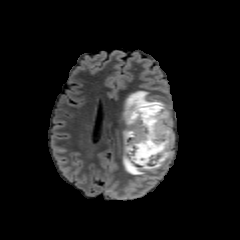
FLAIR MR image.
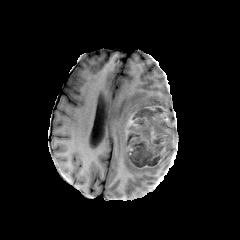
T1-weighted MRI.
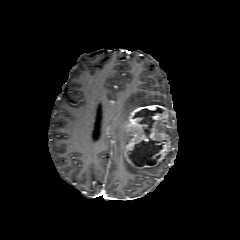
Post-contrast T1-weighted magnetic resonance of the same slice.
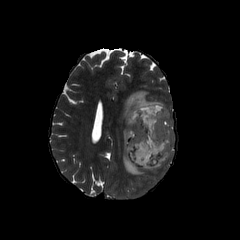
T2-weighted MRI.
240x240, Head
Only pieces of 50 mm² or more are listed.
Findings:
* necrotic tumor core: x1=128, y1=138, x2=166, y2=166; x1=133, y1=107, x2=164, y2=137
* enhancing tumor: x1=123, y1=104, x2=173, y2=169
* peritumoral edema: x1=123, y1=90, x2=166, y2=125; x1=123, y1=145, x2=161, y2=177